Image width 240 mm, 1.00 mm slice spacing, Axial plane, Slice 53/155, Head, 240x240 px
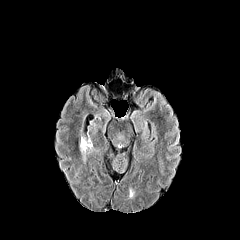
FLAIR MRI.
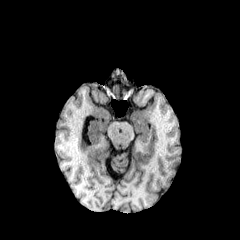
Same slice, T1-weighted MRI.
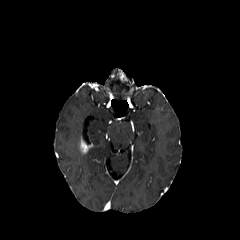
Post-contrast T1-weighted MR of the same slice.
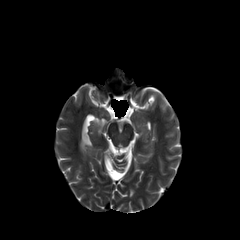
T2-weighted MR.
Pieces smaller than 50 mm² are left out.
<segmentation>
  <peritumoral_edema>{"x1": 79, "y1": 144, "x2": 93, "y2": 156}</peritumoral_edema>
  <enhancing_tumor>{"x1": 79, "y1": 137, "x2": 92, "y2": 153}</enhancing_tumor>
</segmentation>